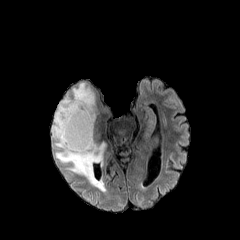
FLAIR magnetic resonance.
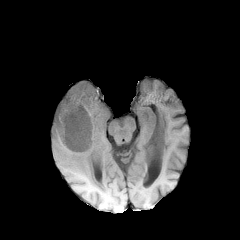
T1-weighted MR of the same slice.
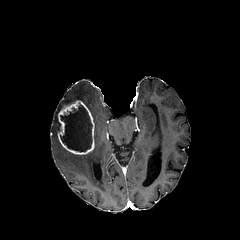
Post-contrast T1-weighted magnetic resonance.
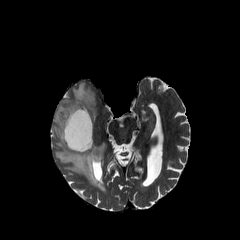
T2-weighted MRI of the same slice.
240x240
<segmentation>
  <enhancing_tumor>x1=57, y1=100, x2=94, y2=154</enhancing_tumor>
  <peritumoral_edema>x1=52, y1=82, x2=107, y2=191</peritumoral_edema>
  <necrotic_tumor_core>x1=60, y1=104, x2=92, y2=151</necrotic_tumor_core>
</segmentation>